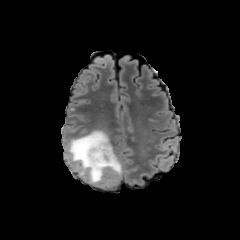
FLAIR MR.
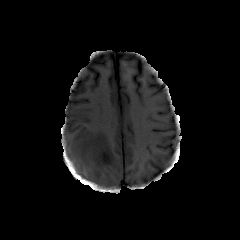
Same slice, T1-weighted magnetic resonance.
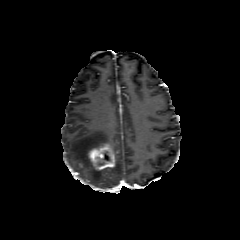
Same slice, post-contrast T1-weighted MR.
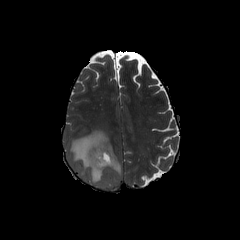
Same slice, T2-weighted MRI.
Axial slice; 240x240; Head
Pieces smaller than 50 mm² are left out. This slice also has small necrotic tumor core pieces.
peritumoral edema: 68,130,122,186 | enhancing tumor: 88,143,115,170